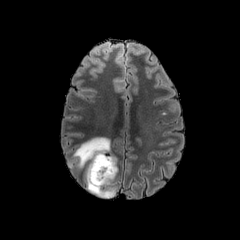
FLAIR magnetic resonance.
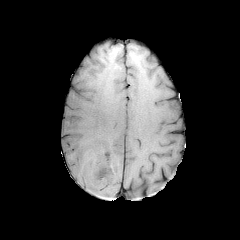
T1-weighted MRI.
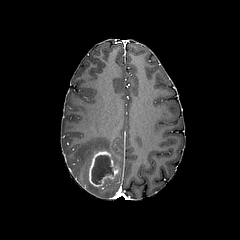
Same slice, post-contrast T1-weighted MR image.
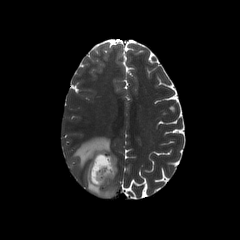
Same slice, T2-weighted MR image.
Brain
enhancing tumor — left=85, top=150, right=118, bottom=187
peritumoral edema — left=68, top=137, right=117, bottom=198
necrotic tumor core — left=91, top=155, right=113, bottom=184